240x240. Head. Slice 61 of 155.
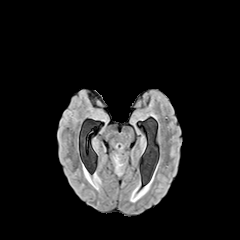
FLAIR magnetic resonance.
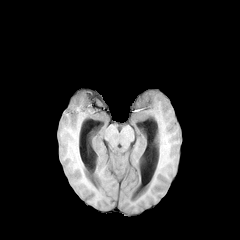
T1-weighted MR image.
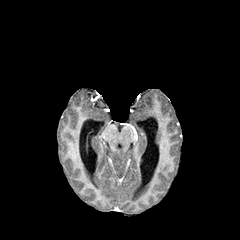
Post-contrast T1-weighted MRI.
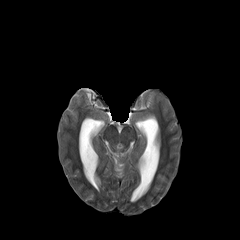
Same slice, T2-weighted magnetic resonance.
peritumoral edema at (x1=114, y1=156, x2=122, y2=173)